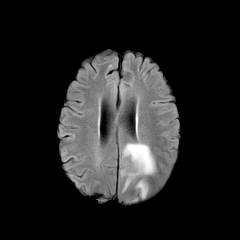
FLAIR MRI.
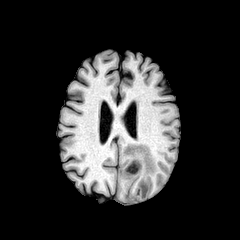
T1-weighted MRI.
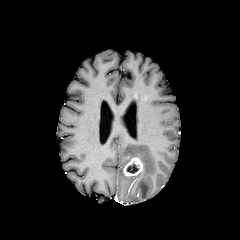
Same slice, post-contrast T1-weighted magnetic resonance.
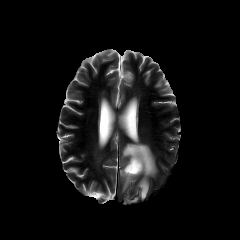
T2-weighted magnetic resonance.
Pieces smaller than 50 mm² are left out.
- necrotic tumor core: (126,163,138,173)
- enhancing tumor: (123,157,143,176)
- peritumoral edema: (137,179,148,198), (120,143,155,191)